FLAIR MR image.
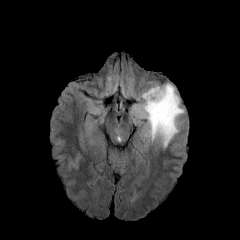
T1-weighted magnetic resonance.
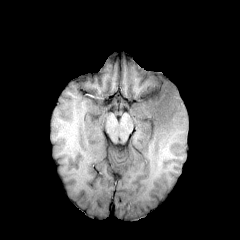
Post-contrast T1-weighted MR image.
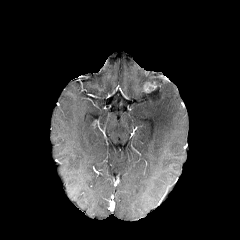
T2-weighted MR image.
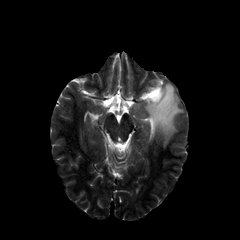
Axial plane | 240x240
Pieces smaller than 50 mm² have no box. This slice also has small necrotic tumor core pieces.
peritumoral edema: <bbox>132, 83, 184, 147</bbox>, <bbox>148, 89, 161, 102</bbox>
enhancing tumor: <bbox>145, 84, 163, 104</bbox>